240x240 px | Axial plane | Slice 119 of 155
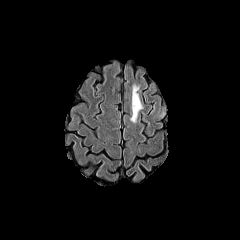
FLAIR MR.
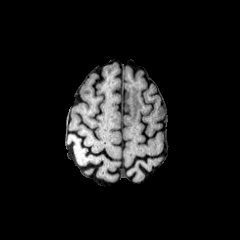
T1-weighted MR of the same slice.
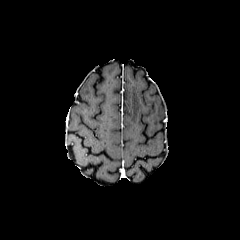
Post-contrast T1-weighted MRI.
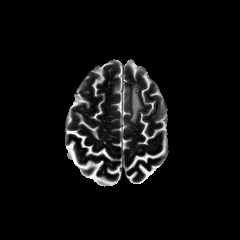
Same slice, T2-weighted MR image.
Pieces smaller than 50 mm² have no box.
Annotated regions:
• peritumoral edema: rect(130, 85, 142, 122)